FLAIR MR.
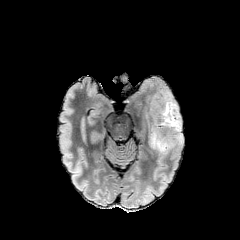
T1-weighted MR.
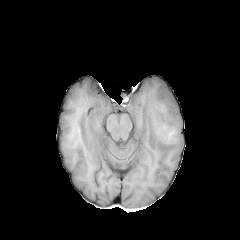
Post-contrast T1-weighted MRI.
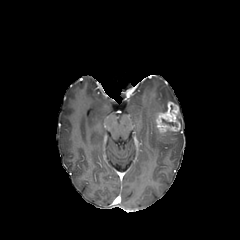
T2-weighted magnetic resonance.
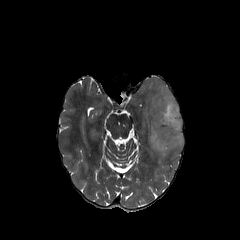
Image size 240x240
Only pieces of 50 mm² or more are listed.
{"peritumoral_edema": ["bbox=[149, 91, 183, 157]"], "enhancing_tumor": ["bbox=[155, 101, 180, 132]"], "necrotic_tumor_core": ["bbox=[162, 118, 177, 127]"]}